Head; Slice 79/155
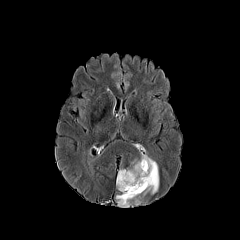
FLAIR magnetic resonance.
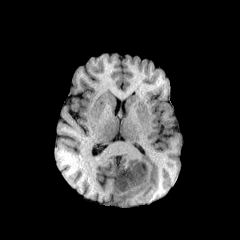
T1-weighted MR image of the same slice.
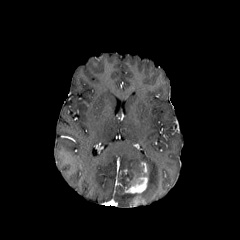
Post-contrast T1-weighted magnetic resonance of the same slice.
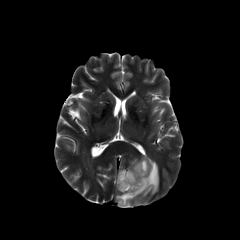
Same slice, T2-weighted MRI.
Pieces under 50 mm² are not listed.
enhancing tumor — bbox=[133, 196, 141, 204]; bbox=[124, 161, 148, 193]
peritumoral edema — bbox=[116, 154, 159, 207]